Slice index 27
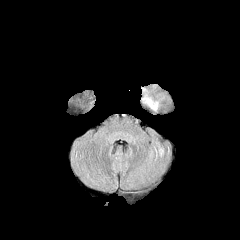
FLAIR MR.
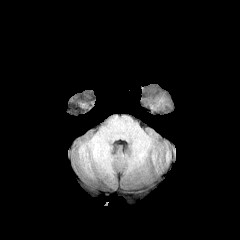
T1-weighted MRI of the same slice.
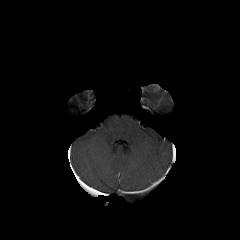
Same slice, post-contrast T1-weighted magnetic resonance.
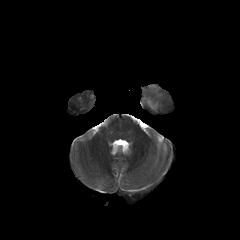
T2-weighted MR.
The peritumoral edema is bounded by x1=143, y1=94, x2=158, y2=110.